FLAIR magnetic resonance.
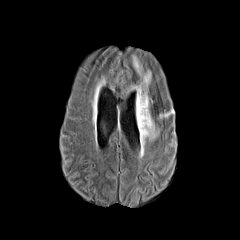
T1-weighted MRI.
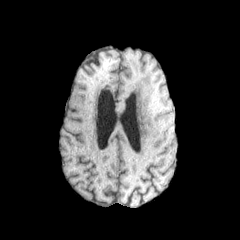
Post-contrast T1-weighted MR.
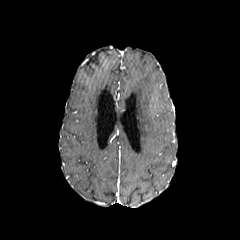
T2-weighted MR image.
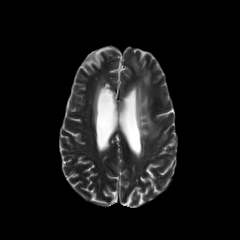
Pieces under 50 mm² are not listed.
{
  "peritumoral_edema": [
    "133, 56, 140, 74",
    "133, 71, 157, 155"
  ]
}